FLAIR MRI.
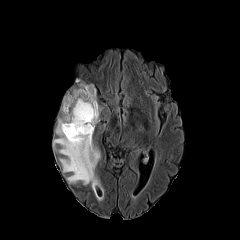
T1-weighted magnetic resonance.
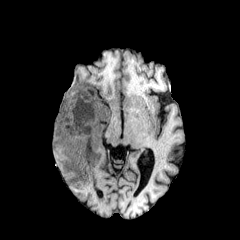
Post-contrast T1-weighted MR.
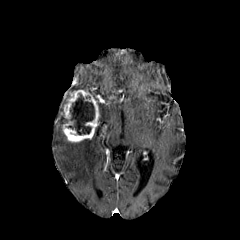
T2-weighted MR image.
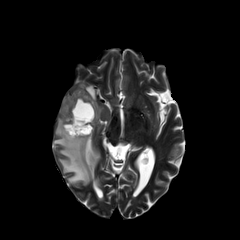
Axial plane
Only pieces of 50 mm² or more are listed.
The largest peritumoral edema region is bounded by left=53, top=117, right=103, bottom=201. The largest enhancing tumor region lies within left=61, top=85, right=99, bottom=142. The 2 largest necrotic tumor core regions appear at left=88, top=86, right=97, bottom=102; left=68, top=94, right=94, bottom=134.